FLAIR MR.
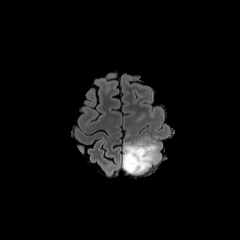
T1-weighted MR image.
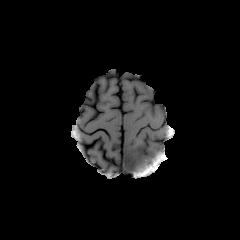
Post-contrast T1-weighted magnetic resonance.
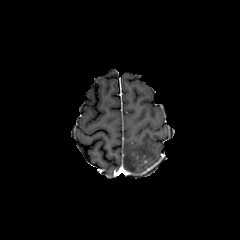
T2-weighted MRI.
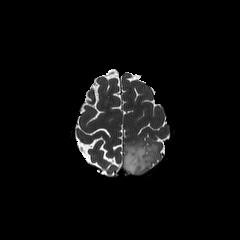
Brain. Axial plane.
{
  "peritumoral_edema": [
    "x1=123, y1=140, x2=161, y2=174"
  ]
}